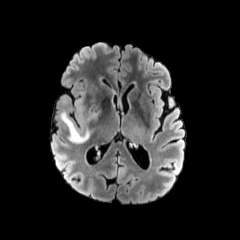
FLAIR MR image.
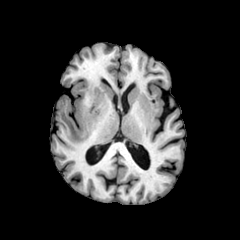
T1-weighted magnetic resonance of the same slice.
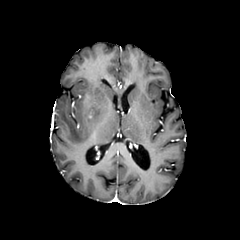
Post-contrast T1-weighted magnetic resonance of the same slice.
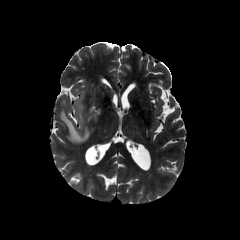
T2-weighted MR.
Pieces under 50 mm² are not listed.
Segmented structures:
• peritumoral edema: 60 109 89 143, 75 99 83 125